FLAIR magnetic resonance.
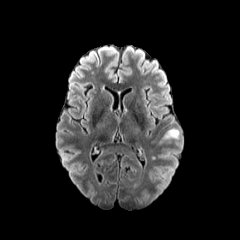
T1-weighted magnetic resonance.
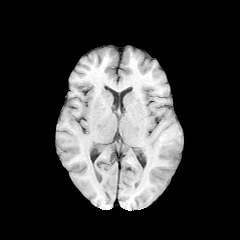
Post-contrast T1-weighted MR.
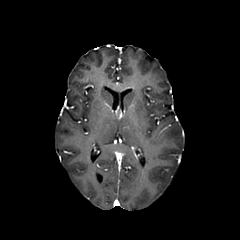
T2-weighted MRI.
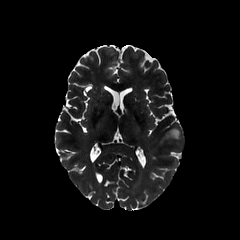
Image size 240x240 | Brain
peritumoral edema at 162 128 179 140